Axial slice, Image width 240 mm, 1.00 mm slice spacing
FLAIR magnetic resonance.
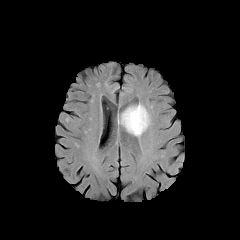
T1-weighted MR image.
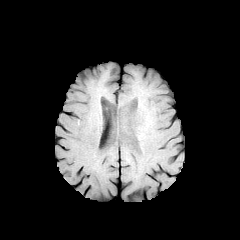
Post-contrast T1-weighted magnetic resonance.
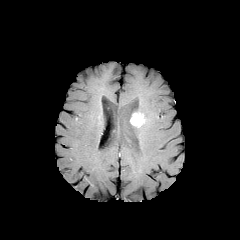
T2-weighted MRI.
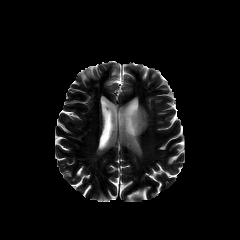
peritumoral edema: bounding box (118, 105, 149, 136)
enhancing tumor: bounding box (130, 112, 145, 127)